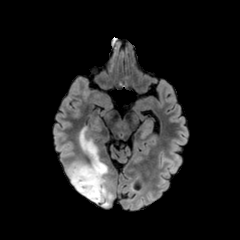
FLAIR MR image.
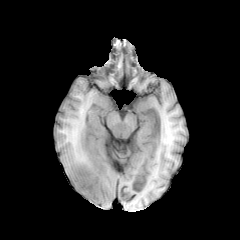
T1-weighted MR image.
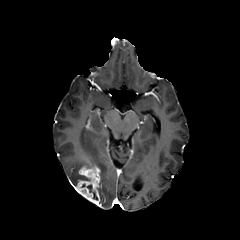
Post-contrast T1-weighted magnetic resonance.
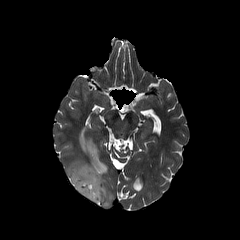
T2-weighted magnetic resonance.
Axial plane
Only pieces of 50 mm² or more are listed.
necrotic_tumor_core:
  - left=87, top=185, right=97, bottom=199
peritumoral_edema:
  - left=66, top=128, right=113, bottom=206
enhancing_tumor:
  - left=75, top=165, right=100, bottom=205